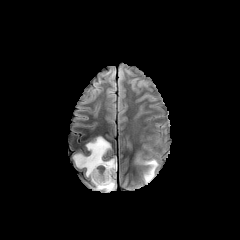
FLAIR MR.
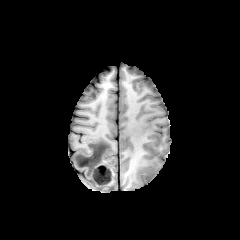
T1-weighted magnetic resonance.
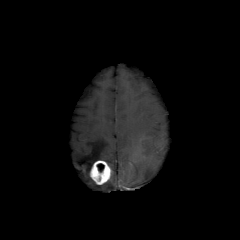
Post-contrast T1-weighted MRI of the same slice.
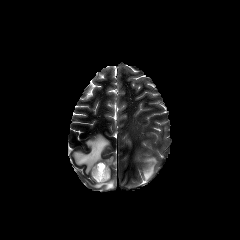
Same slice, T2-weighted MR image.
Image size 240x240, Brain
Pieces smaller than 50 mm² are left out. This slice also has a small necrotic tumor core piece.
peritumoral_edema:
  - rect(137, 157, 158, 183)
  - rect(91, 158, 116, 191)
  - rect(73, 136, 110, 176)
enhancing_tumor:
  - rect(90, 160, 111, 184)